Image covers 240 mm x 240 mm. Axial slice. Slice 67/155. Head.
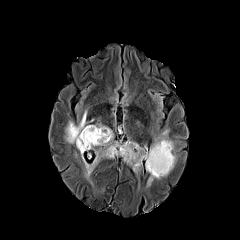
FLAIR magnetic resonance.
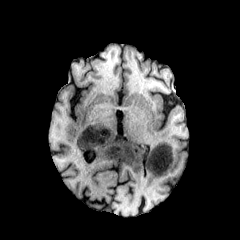
T1-weighted MR image.
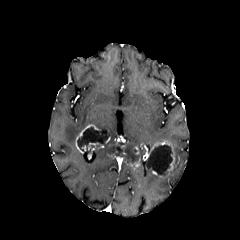
Post-contrast T1-weighted magnetic resonance.
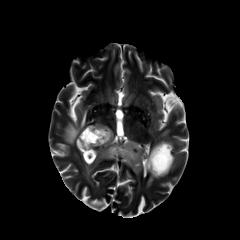
T2-weighted magnetic resonance.
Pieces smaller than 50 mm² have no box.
{"peritumoral_edema": ["160, 130, 168, 141", "65, 110, 86, 143", "146, 165, 159, 186", "95, 123, 113, 138", "82, 141, 145, 183"], "necrotic_tumor_core": ["146, 145, 172, 175", "77, 126, 109, 151", "124, 146, 137, 163"], "enhancing_tumor": ["129, 161, 140, 170", "143, 140, 174, 171", "75, 124, 100, 153"]}